Head | 240x240 px
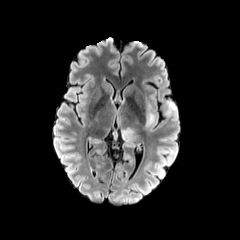
FLAIR MRI.
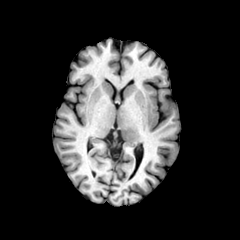
T1-weighted MR.
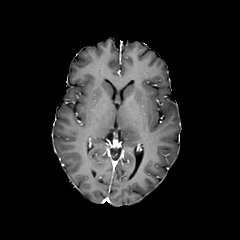
Same slice, post-contrast T1-weighted magnetic resonance.
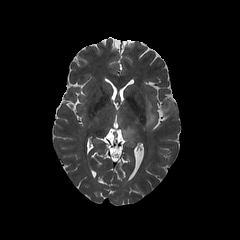
T2-weighted MR image.
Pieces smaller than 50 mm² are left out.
peritumoral edema — [164,99,177,120], [119,114,125,123], [145,99,157,130], [121,127,139,143]